FLAIR magnetic resonance.
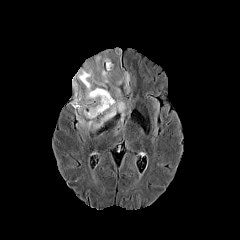
T1-weighted magnetic resonance.
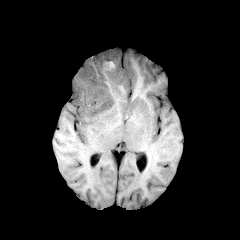
Post-contrast T1-weighted MR image.
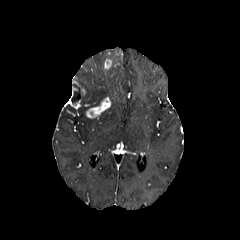
T2-weighted magnetic resonance.
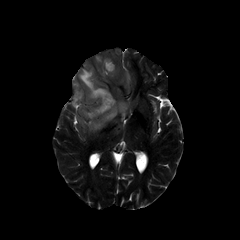
Head, 240x240
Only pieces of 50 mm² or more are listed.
enhancing tumor: bounding box {"x1": 85, "y1": 96, "x2": 111, "y2": 118}, {"x1": 70, "y1": 79, "x2": 85, "y2": 109}, {"x1": 104, "y1": 60, "x2": 114, "y2": 71}
necrotic tumor core: bounding box {"x1": 71, "y1": 84, "x2": 80, "y2": 103}
peritumoral edema: bounding box {"x1": 76, "y1": 50, "x2": 130, "y2": 133}